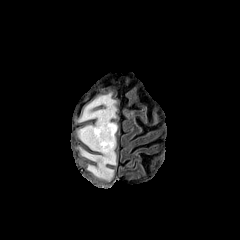
FLAIR MR.
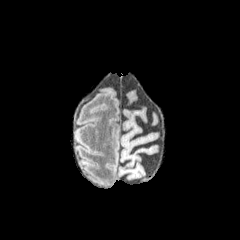
T1-weighted MR of the same slice.
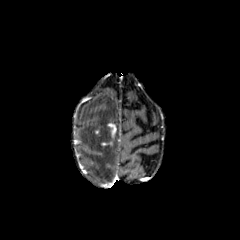
Post-contrast T1-weighted MR image of the same slice.
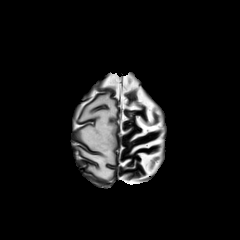
T2-weighted MR.
Axial slice
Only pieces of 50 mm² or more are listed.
<segmentation>
  <necrotic_tumor_core>x1=100 y1=126 x2=110 y2=135</necrotic_tumor_core>
  <enhancing_tumor>x1=107 y1=123 x2=116 y2=137</enhancing_tumor>
  <peritumoral_edema>x1=78 y1=93 x2=116 y2=181</peritumoral_edema>
</segmentation>